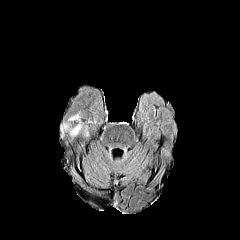
FLAIR magnetic resonance.
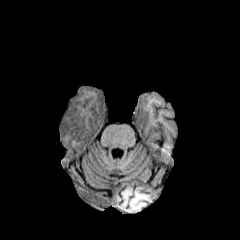
Same slice, T1-weighted MRI.
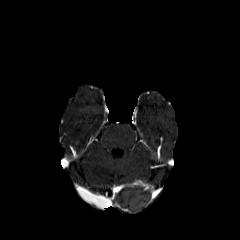
Post-contrast T1-weighted magnetic resonance.
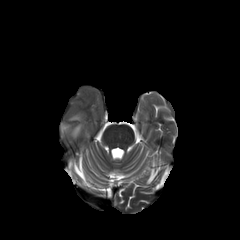
T2-weighted magnetic resonance of the same slice.
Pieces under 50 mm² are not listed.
peritumoral edema: 69 113 80 120, 71 123 82 135